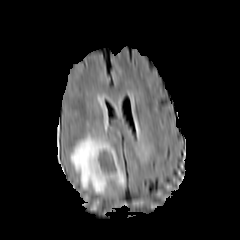
FLAIR MR.
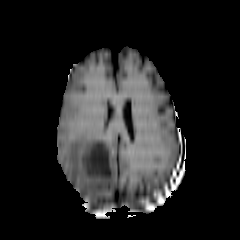
T1-weighted MRI of the same slice.
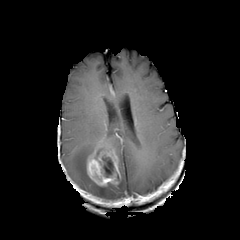
Post-contrast T1-weighted MR image.
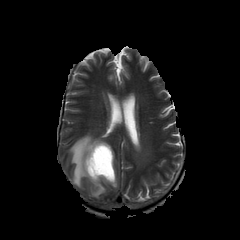
T2-weighted magnetic resonance.
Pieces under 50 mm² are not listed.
* peritumoral edema: 70 134 125 194
* necrotic tumor core: 98 155 115 177
* enhancing tumor: 86 141 120 186